Brain; Image width 240 mm
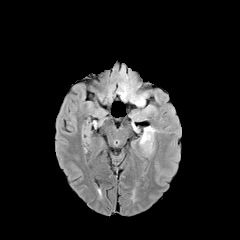
FLAIR MRI.
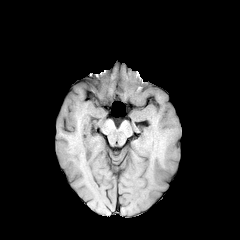
T1-weighted MRI of the same slice.
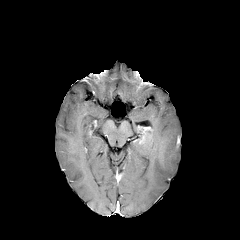
Post-contrast T1-weighted MR image.
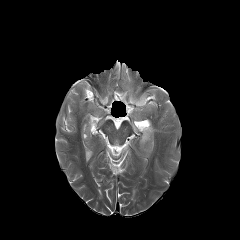
T2-weighted MRI.
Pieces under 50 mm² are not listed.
enhancing tumor: <bbox>140, 127, 150, 143</bbox> | peritumoral edema: <bbox>139, 126, 157, 156</bbox>, <bbox>143, 105, 154, 113</bbox>, <bbox>122, 86, 146, 105</bbox>